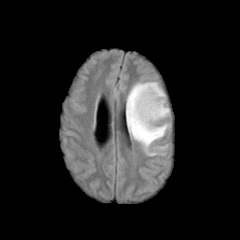
FLAIR MR image.
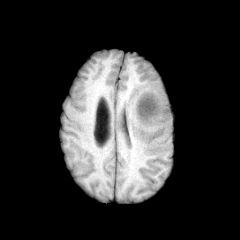
T1-weighted MRI.
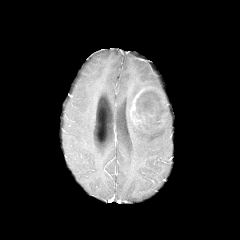
Post-contrast T1-weighted MRI.
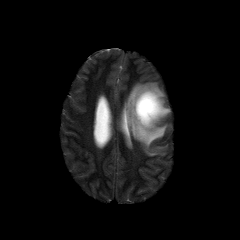
T2-weighted MR image.
Head
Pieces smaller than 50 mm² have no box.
The largest necrotic tumor core region lies within [136, 93, 159, 118]. The largest enhancing tumor region lies within [131, 89, 161, 126]. The peritumoral edema lies within [126, 81, 170, 156].